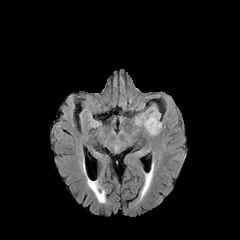
FLAIR MR.
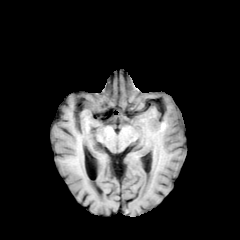
Same slice, T1-weighted MR.
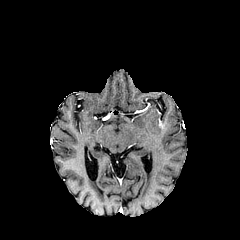
Post-contrast T1-weighted MR image.
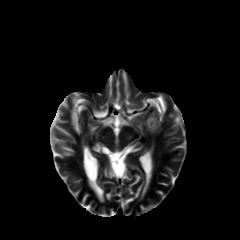
T2-weighted MR image of the same slice.
Axial plane
{"peritumoral_edema": ["(x1=145, y1=116, x2=159, y2=132)"]}